Axial slice, Slice 142/155, Head
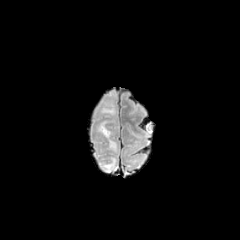
FLAIR MR image.
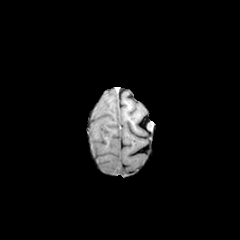
T1-weighted MR of the same slice.
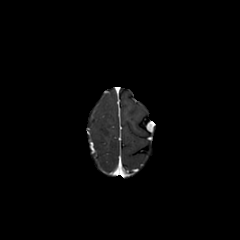
Post-contrast T1-weighted magnetic resonance.
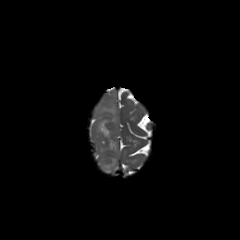
T2-weighted magnetic resonance.
peritumoral edema: 98:121:111:137, 109:140:116:151, 100:99:115:115, 101:158:116:171